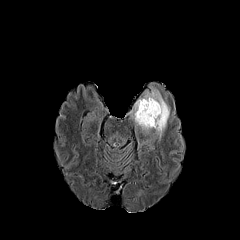
FLAIR MR.
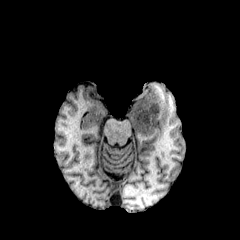
T1-weighted magnetic resonance of the same slice.
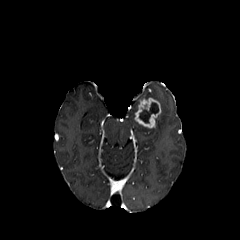
Same slice, post-contrast T1-weighted magnetic resonance.
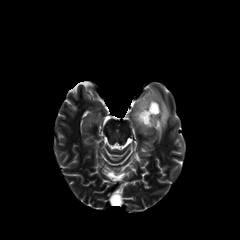
T2-weighted MR.
Axial plane
enhancing tumor: (left=134, top=97, right=161, bottom=128) | peritumoral edema: (left=129, top=84, right=169, bottom=142) | necrotic tumor core: (left=139, top=102, right=158, bottom=123)